FLAIR magnetic resonance.
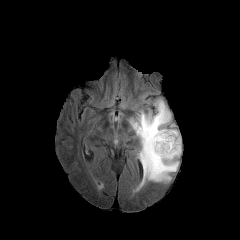
T1-weighted magnetic resonance.
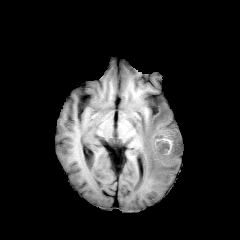
Post-contrast T1-weighted magnetic resonance.
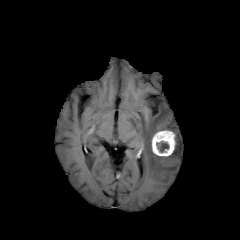
T2-weighted MR image.
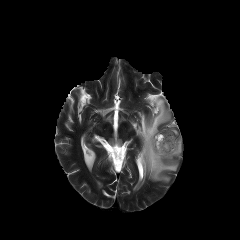
Head
The enhancing tumor appears at <bbox>152, 130, 176, 156</bbox>. The peritumoral edema is bounded by <bbox>130, 99, 181, 185</bbox>. The necrotic tumor core is bounded by <bbox>157, 141, 168, 151</bbox>.